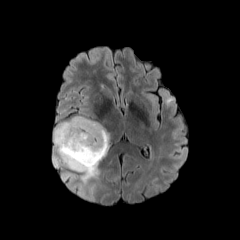
FLAIR MR.
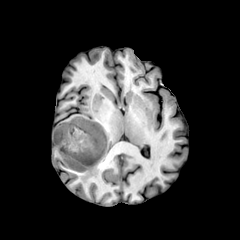
T1-weighted MR image of the same slice.
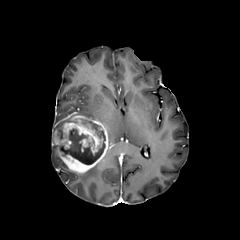
Post-contrast T1-weighted MR of the same slice.
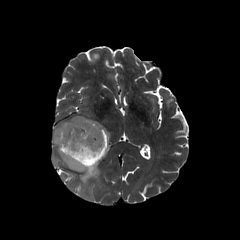
T2-weighted MR image.
Brain, Axial plane
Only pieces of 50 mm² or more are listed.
necrotic tumor core = <box>60,121,105,164</box>
peritumoral edema = <box>53,156,64,166</box>, <box>80,163,99,182</box>, <box>53,119,70,132</box>
enhancing tumor = <box>53,115,110,173</box>